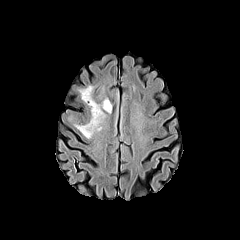
FLAIR MR image.
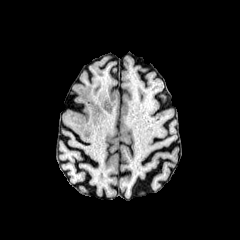
T1-weighted magnetic resonance.
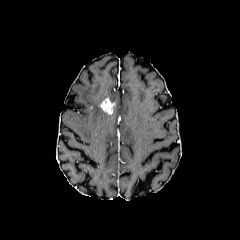
Post-contrast T1-weighted MR image.
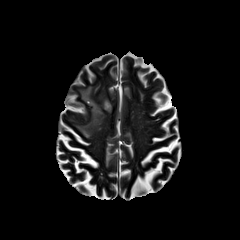
T2-weighted MR image of the same slice.
240x240 px.
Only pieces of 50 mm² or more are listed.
The largest peritumoral edema region lies within bbox(75, 86, 105, 138). The enhancing tumor is located at bbox(100, 98, 113, 113).